Image width 240 mm, 1.00 mm slice spacing
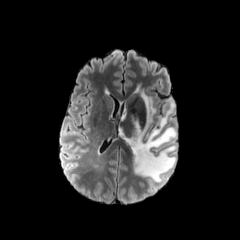
FLAIR magnetic resonance.
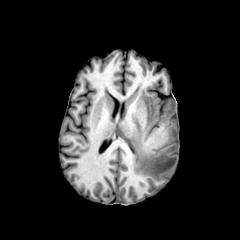
T1-weighted MR.
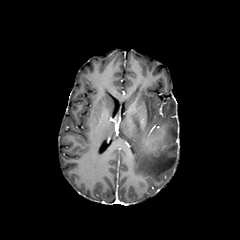
Post-contrast T1-weighted MR of the same slice.
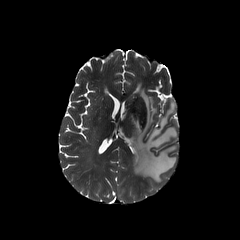
T2-weighted MR.
peritumoral edema — left=119, top=92, right=176, bottom=183
enhancing tumor — left=152, top=134, right=162, bottom=143